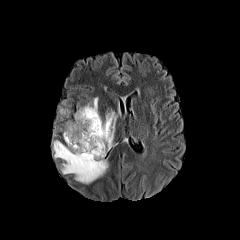
FLAIR magnetic resonance.
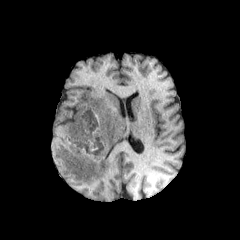
T1-weighted MR image.
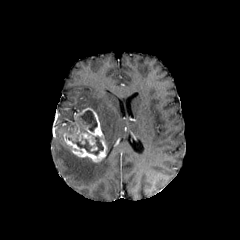
Post-contrast T1-weighted MR image.
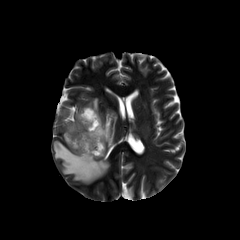
T2-weighted MR image of the same slice.
Brain, Axial plane
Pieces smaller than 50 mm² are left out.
Segmented structures:
• enhancing tumor: 63 107 106 162
• necrotic tumor core: 66 136 103 155, 79 110 97 131
• peritumoral edema: 53 140 108 183, 74 97 117 149